Slice 66 of 155 | Axial view
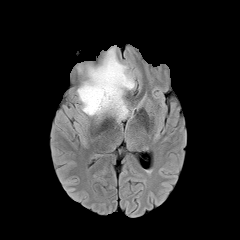
FLAIR MR.
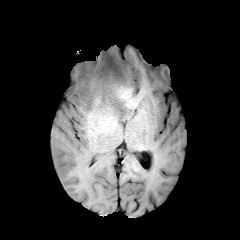
T1-weighted MR image.
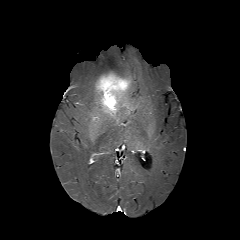
Post-contrast T1-weighted magnetic resonance of the same slice.
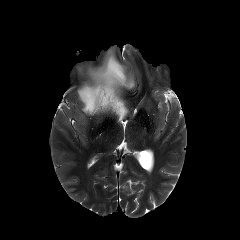
T2-weighted MRI of the same slice.
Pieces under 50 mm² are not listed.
The 2 largest peritumoral edema regions appear at x1=109, y1=91, x2=129, y2=122; x1=77, y1=48, x2=135, y2=115. The enhancing tumor is at x1=96, y1=72, x2=129, y2=113.